Axial plane. Brain.
FLAIR MR image.
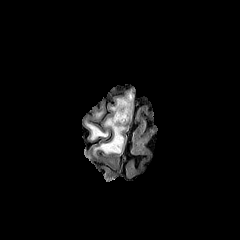
T1-weighted MR.
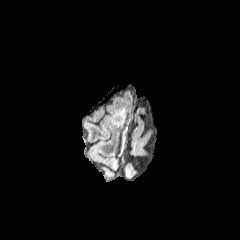
Post-contrast T1-weighted MR image.
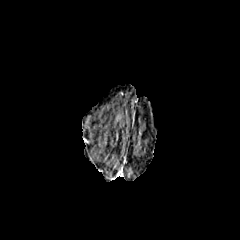
T2-weighted magnetic resonance.
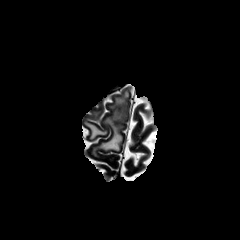
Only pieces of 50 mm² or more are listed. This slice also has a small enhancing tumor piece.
peritumoral edema: bounding box 87:124:107:139, 94:98:130:153